Slice 74/155. Axial plane. Head.
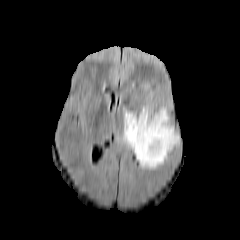
FLAIR MR.
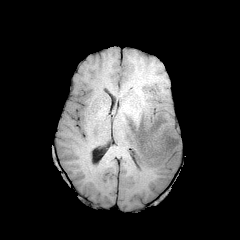
T1-weighted MR image of the same slice.
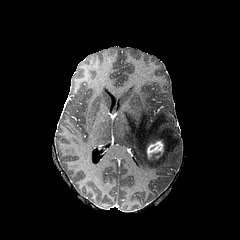
Post-contrast T1-weighted MR.
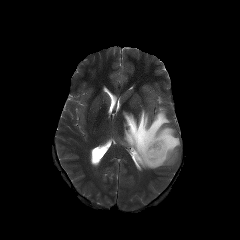
T2-weighted MR.
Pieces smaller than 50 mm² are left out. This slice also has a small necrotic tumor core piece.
peritumoral edema — <box>122,107,179,169</box>
enhancing tumor — <box>146,140,164,158</box>